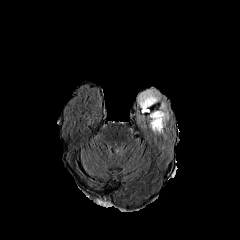
FLAIR MR image.
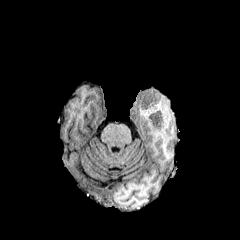
Same slice, T1-weighted MR image.
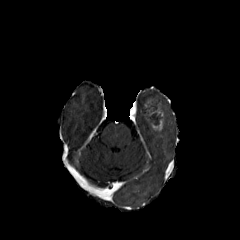
Post-contrast T1-weighted magnetic resonance.
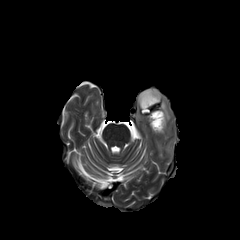
T2-weighted magnetic resonance.
Brain
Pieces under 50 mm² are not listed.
The largest enhancing tumor region is bounded by (left=149, top=108, right=163, bottom=131). The necrotic tumor core is at (left=150, top=113, right=160, bottom=125). The 2 largest peritumoral edema regions are located at (left=137, top=89, right=161, bottom=113), (left=154, top=101, right=169, bottom=134).